FLAIR MR image.
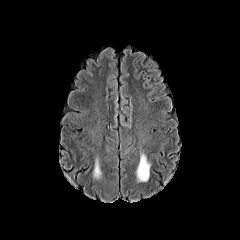
T1-weighted MR image.
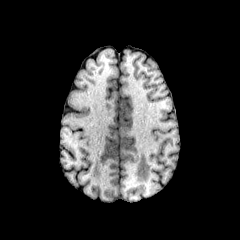
Post-contrast T1-weighted MRI.
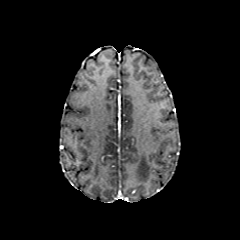
T2-weighted magnetic resonance.
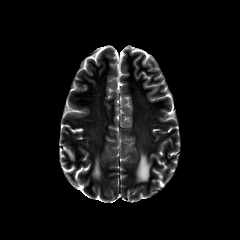
Axial slice, Brain
{"peritumoral_edema": ["rect(93, 157, 101, 179)", "rect(136, 152, 150, 181)"]}